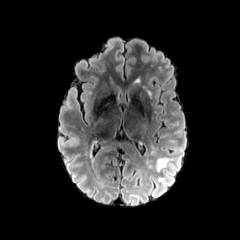
FLAIR magnetic resonance.
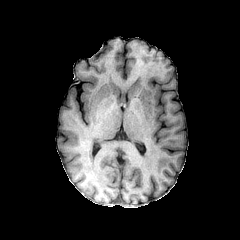
T1-weighted MRI.
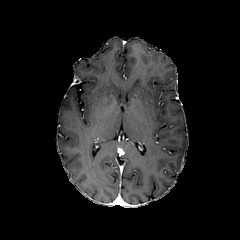
Same slice, post-contrast T1-weighted MRI.
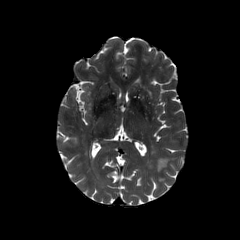
T2-weighted magnetic resonance.
Axial plane
{"peritumoral_edema": ["[x1=157, y1=158, x2=169, y2=170]"]}